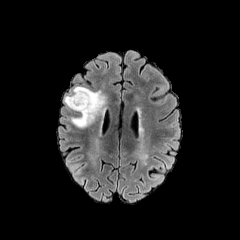
FLAIR magnetic resonance.
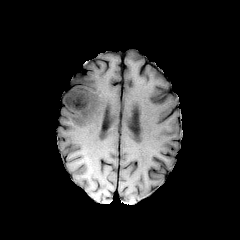
T1-weighted MRI of the same slice.
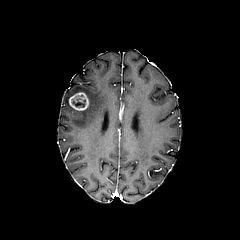
Post-contrast T1-weighted MR image of the same slice.
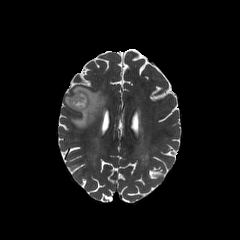
T2-weighted MRI.
240x240 px. Brain.
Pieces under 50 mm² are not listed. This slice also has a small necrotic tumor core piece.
- peritumoral edema: box(64, 86, 105, 128)
- enhancing tumor: box(68, 92, 89, 110)